FLAIR MRI.
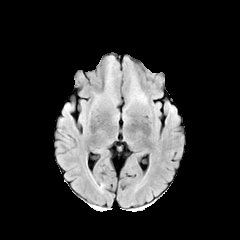
T1-weighted MR.
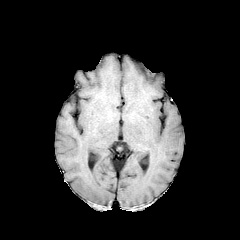
Post-contrast T1-weighted MRI.
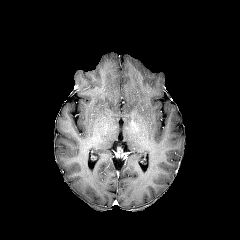
T2-weighted MR.
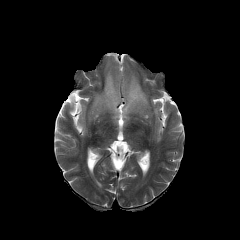
Axial view; 240x240 px; Brain
<segmentation>
  <peritumoral_edema>bbox=[106, 64, 117, 104]; bbox=[124, 75, 147, 111]</peritumoral_edema>
</segmentation>